Brain
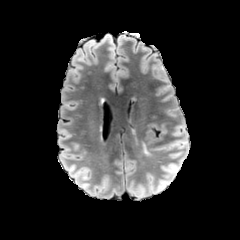
FLAIR MR image.
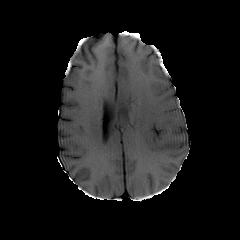
T1-weighted MRI.
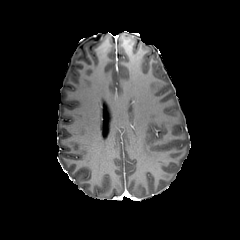
Post-contrast T1-weighted MR image.
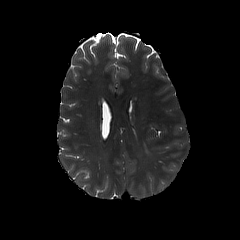
Same slice, T2-weighted MRI.
peritumoral_edema:
  - bbox=[142, 142, 151, 155]